Head, 240x240
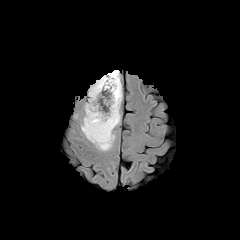
FLAIR MR image.
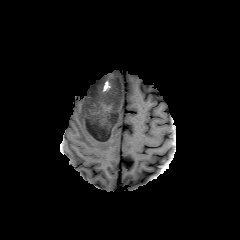
T1-weighted MR image of the same slice.
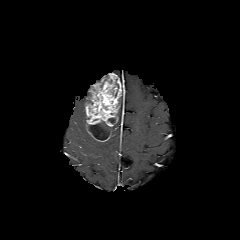
Same slice, post-contrast T1-weighted MR.
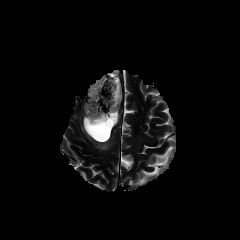
T2-weighted MR.
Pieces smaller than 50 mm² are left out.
The enhancing tumor lies within region(84, 73, 121, 141). The largest peritumoral edema region is at region(81, 109, 120, 150). The largest necrotic tumor core region is bounded by region(88, 122, 110, 140).